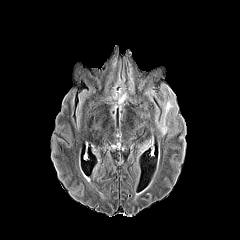
FLAIR MRI.
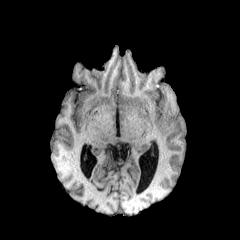
T1-weighted MR.
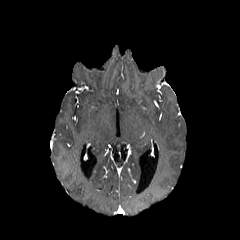
Post-contrast T1-weighted magnetic resonance of the same slice.
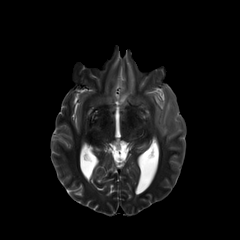
T2-weighted MR.
Axial slice.
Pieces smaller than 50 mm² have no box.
peritumoral edema at <bbox>155, 101, 176, 135</bbox>